Image size 240x240. Slice index 115. Axial plane. Brain.
FLAIR magnetic resonance.
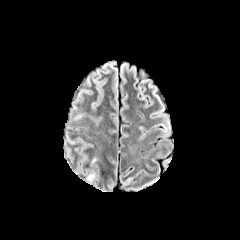
T1-weighted MR image.
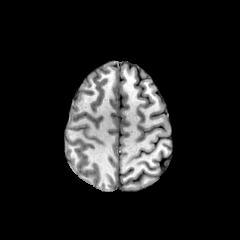
Post-contrast T1-weighted MR image.
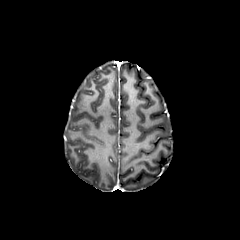
T2-weighted MRI.
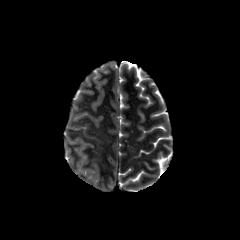
peritumoral edema — (left=87, top=174, right=95, bottom=181)